FLAIR MRI.
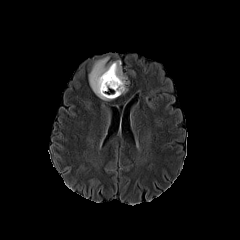
T1-weighted MR.
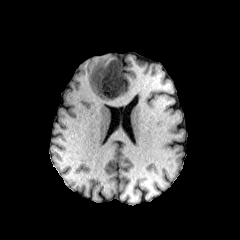
Post-contrast T1-weighted magnetic resonance.
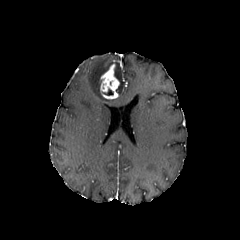
T2-weighted MR image.
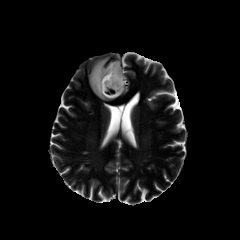
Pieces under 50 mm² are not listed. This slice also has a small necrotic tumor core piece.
The peritumoral edema lies within (89,56,127,100). The enhancing tumor is located at (100,63,119,99).